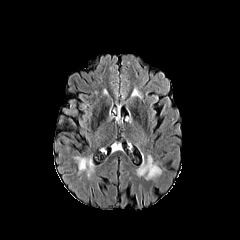
FLAIR MRI.
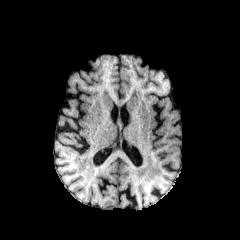
Same slice, T1-weighted MR image.
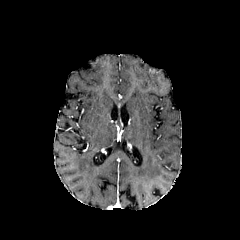
Same slice, post-contrast T1-weighted MR image.
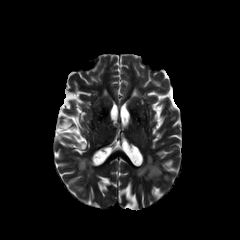
T2-weighted MR image.
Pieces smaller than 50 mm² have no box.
peritumoral edema: 131 88 141 97